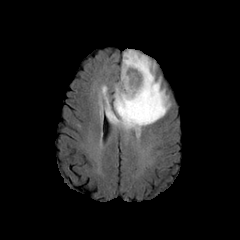
FLAIR MR image.
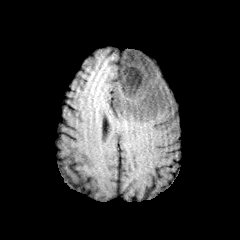
T1-weighted MR of the same slice.
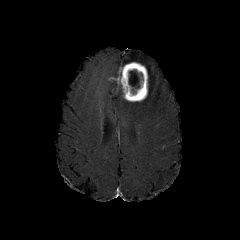
Post-contrast T1-weighted MR image.
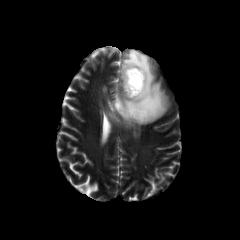
T2-weighted MR image.
Brain; Axial plane
enhancing tumor: bounding box (117,62,148,101)
necrotic tumor core: bounding box (129,70,139,88)
peritumoral edema: bounding box (102,50,170,131)